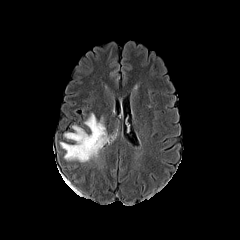
FLAIR MR.
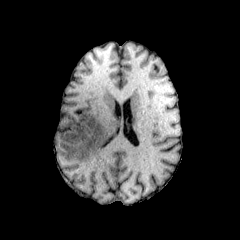
Same slice, T1-weighted MR image.
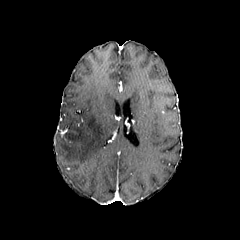
Same slice, post-contrast T1-weighted MRI.
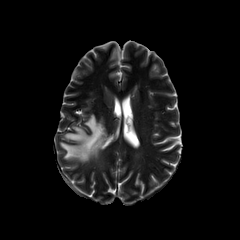
Same slice, T2-weighted MRI.
Axial slice
Annotated regions:
• peritumoral edema: [60, 113, 108, 162]